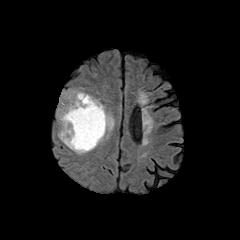
FLAIR magnetic resonance.
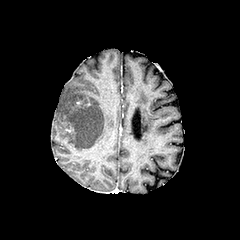
T1-weighted magnetic resonance of the same slice.
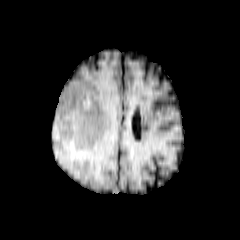
Same slice, post-contrast T1-weighted MRI.
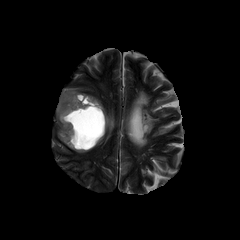
T2-weighted magnetic resonance of the same slice.
Axial view
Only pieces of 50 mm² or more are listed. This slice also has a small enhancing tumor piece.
2 necrotic tumor core regions are bounded by box=[64, 101, 104, 150]; box=[78, 94, 88, 102]. The peritumoral edema is located at box=[57, 88, 114, 154].